Slice 65 of 155; 240x240
FLAIR MRI.
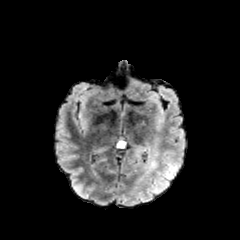
T1-weighted magnetic resonance.
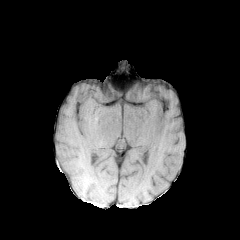
Post-contrast T1-weighted magnetic resonance.
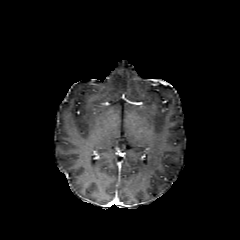
T2-weighted MRI.
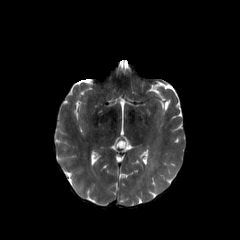
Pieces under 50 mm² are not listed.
{
  "peritumoral_edema": [
    "bbox=[150, 159, 182, 195]"
  ]
}